Axial view | Brain | Slice index 102
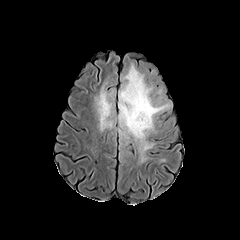
FLAIR MRI.
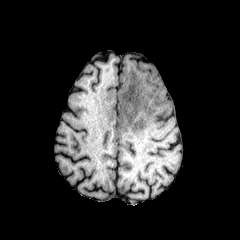
Same slice, T1-weighted MR.
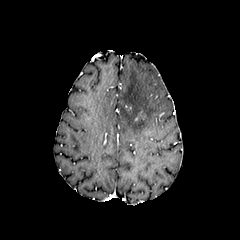
Same slice, post-contrast T1-weighted MRI.
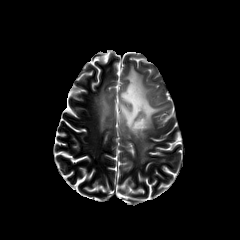
T2-weighted MR.
{"peritumoral_edema": ["[95,86,113,130]", "[118,64,168,150]"], "necrotic_tumor_core": ["[126,94,134,111]"]}